Axial plane.
FLAIR MR.
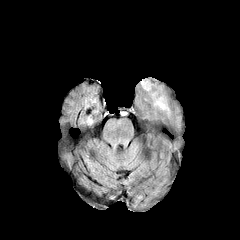
T1-weighted MR image.
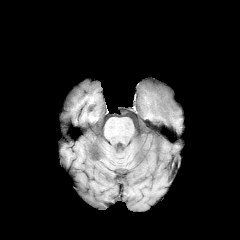
Post-contrast T1-weighted MR.
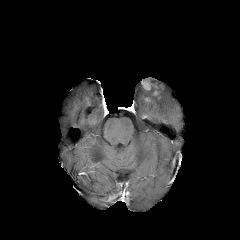
T2-weighted MR.
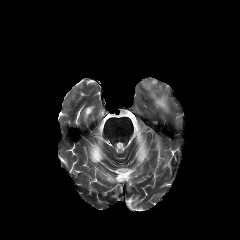
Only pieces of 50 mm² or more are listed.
<segmentation>
  <peritumoral_edema>(left=148, top=90, right=169, bottom=113)</peritumoral_edema>
  <enhancing_tumor>(left=141, top=79, right=158, bottom=95)</enhancing_tumor>
</segmentation>